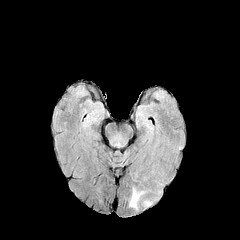
FLAIR MR image.
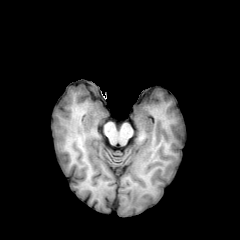
T1-weighted MR image.
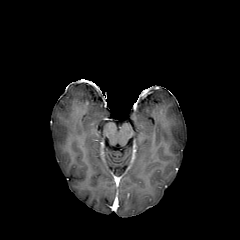
Post-contrast T1-weighted MRI.
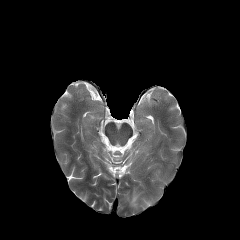
T2-weighted magnetic resonance.
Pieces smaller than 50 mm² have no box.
peritumoral edema at 130, 190, 141, 207